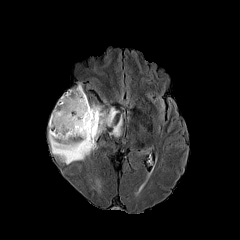
FLAIR MRI.
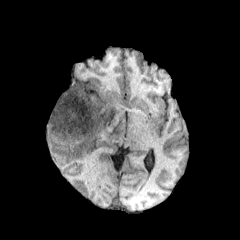
T1-weighted magnetic resonance of the same slice.
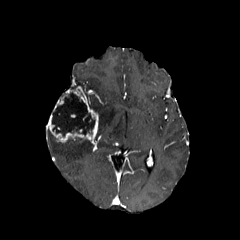
Post-contrast T1-weighted MR image of the same slice.
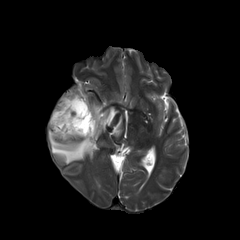
T2-weighted MRI.
Head.
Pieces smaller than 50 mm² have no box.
Annotated regions:
• necrotic tumor core: (x1=52, y1=92, x2=94, y2=136)
• peritumoral edema: (x1=89, y1=102, x2=118, y2=139), (x1=48, y1=129, x2=94, y2=164), (x1=110, y1=115, x2=122, y2=136)
• enhancing tumor: (x1=47, y1=86, x2=98, y2=144)